FLAIR MRI.
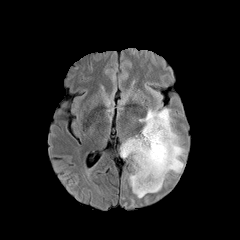
T1-weighted MR image.
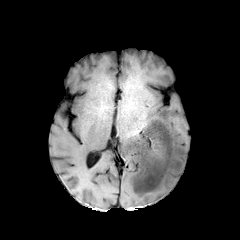
Post-contrast T1-weighted MRI.
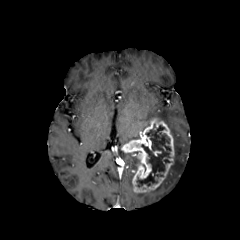
T2-weighted MRI.
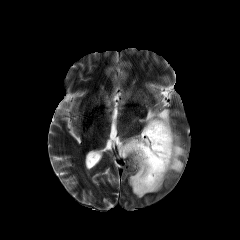
Brain. Axial plane.
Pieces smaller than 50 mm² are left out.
necrotic_tumor_core:
  - rect(137, 125, 170, 187)
enhancing_tumor:
  - rect(121, 118, 174, 193)
peritumoral_edema:
  - rect(120, 147, 136, 170)
  - rect(148, 180, 164, 192)
  - rect(139, 108, 185, 178)